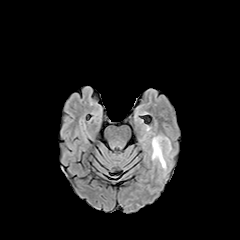
FLAIR MR.
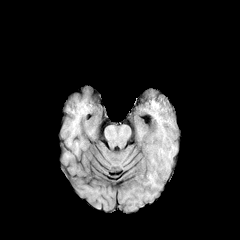
T1-weighted MR image.
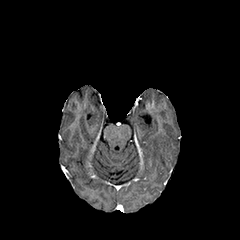
Post-contrast T1-weighted MRI.
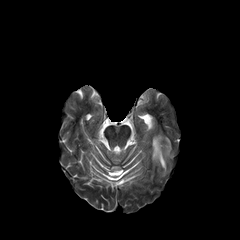
T2-weighted MR image of the same slice.
Axial plane, 240x240, Brain
• peritumoral edema: bbox=[152, 136, 171, 169]